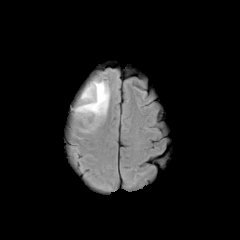
FLAIR MR image.
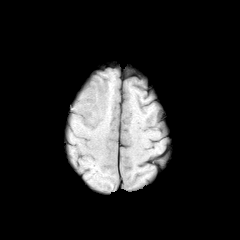
T1-weighted magnetic resonance of the same slice.
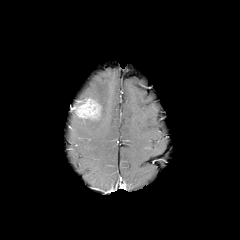
Post-contrast T1-weighted MR image of the same slice.
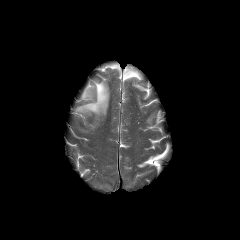
T2-weighted MR image of the same slice.
Axial slice
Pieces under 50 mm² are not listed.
The largest peritumoral edema region is located at [75, 80, 109, 124]. The enhancing tumor is at [77, 99, 100, 117].